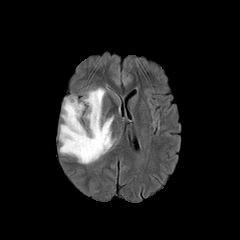
FLAIR MR.
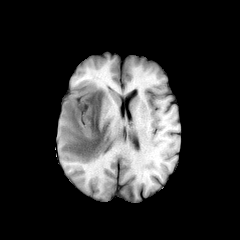
T1-weighted MR.
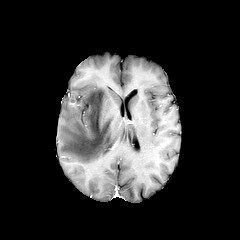
Post-contrast T1-weighted magnetic resonance of the same slice.
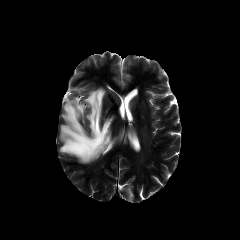
T2-weighted MRI of the same slice.
Head
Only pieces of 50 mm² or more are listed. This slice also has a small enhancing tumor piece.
{
  "peritumoral_edema": [
    "rect(59, 87, 115, 164)"
  ]
}